FLAIR MRI.
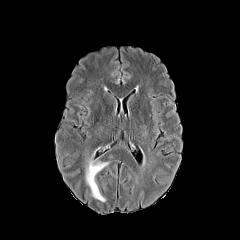
T1-weighted MRI.
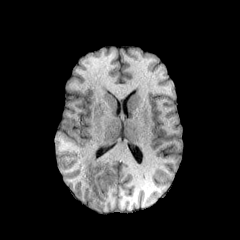
Post-contrast T1-weighted magnetic resonance.
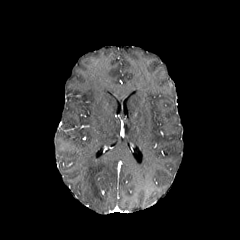
T2-weighted magnetic resonance.
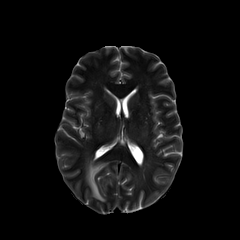
Axial slice, Head
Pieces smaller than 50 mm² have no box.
<segmentation>
  <peritumoral_edema>85 155 108 202</peritumoral_edema>
</segmentation>